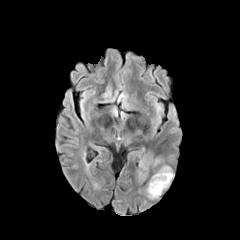
FLAIR MR image.
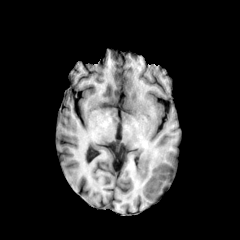
T1-weighted magnetic resonance.
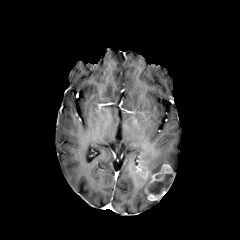
Post-contrast T1-weighted MRI.
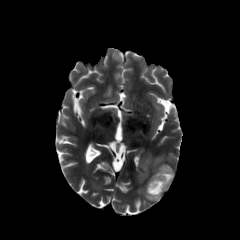
Same slice, T2-weighted MRI.
Head. Axial plane.
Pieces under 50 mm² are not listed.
<segmentation>
  <enhancing_tumor>(x1=142, y1=164, x2=174, y2=200)</enhancing_tumor>
  <necrotic_tumor_core>(x1=149, y1=174, x2=173, y2=194)</necrotic_tumor_core>
  <peritumoral_edema>(x1=139, y1=153, x2=163, y2=170)</peritumoral_edema>
</segmentation>